Slice 89/155. Brain. Image size 240x240. Axial slice.
FLAIR MR image.
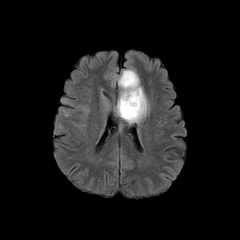
T1-weighted MR image.
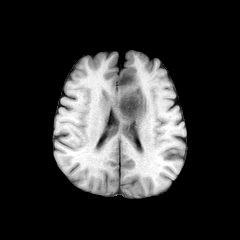
Post-contrast T1-weighted MR image.
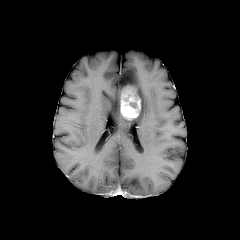
T2-weighted MRI.
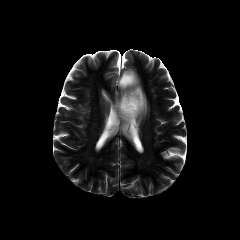
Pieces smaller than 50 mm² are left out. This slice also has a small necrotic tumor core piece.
<segmentation>
  <enhancing_tumor>box(120, 86, 140, 120)</enhancing_tumor>
  <peritumoral_edema>box(115, 69, 148, 123)</peritumoral_edema>
</segmentation>